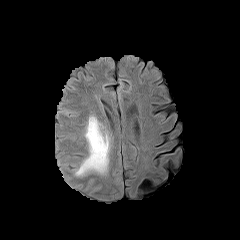
FLAIR magnetic resonance.
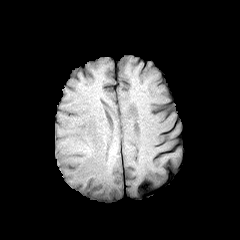
Same slice, T1-weighted MRI.
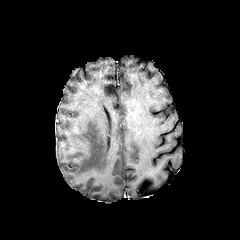
Post-contrast T1-weighted MRI.
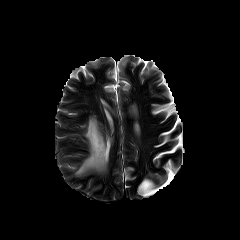
Same slice, T2-weighted MR image.
240x240 px
peritumoral edema — (75,116,110,175)